240x240 px | Axial plane | Image covers 240 mm x 240 mm
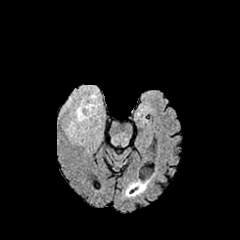
FLAIR magnetic resonance.
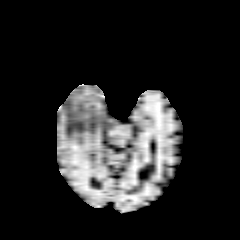
T1-weighted MRI.
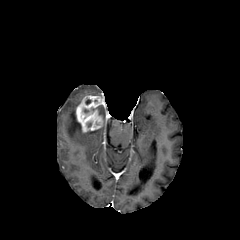
Post-contrast T1-weighted MR.
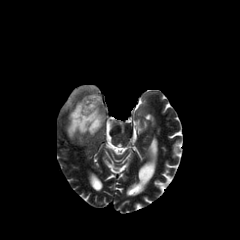
Same slice, T2-weighted MR.
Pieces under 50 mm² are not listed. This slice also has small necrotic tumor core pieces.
{
  "enhancing_tumor": [
    "x1=75 y1=95 x2=106 y2=132"
  ],
  "peritumoral_edema": [
    "x1=64 y1=86 x2=98 y2=109",
    "x1=67 y1=111 x2=85 y2=139"
  ]
}